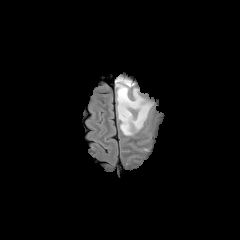
FLAIR MR image.
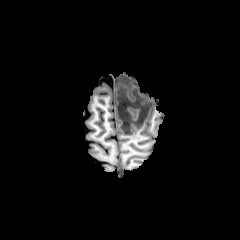
Same slice, T1-weighted MR image.
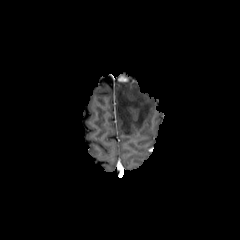
Same slice, post-contrast T1-weighted MRI.
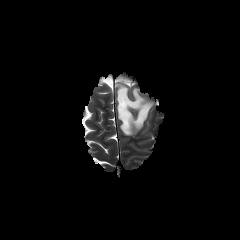
T2-weighted MR of the same slice.
Head
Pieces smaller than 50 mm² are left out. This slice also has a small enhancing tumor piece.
The peritumoral edema appears at (x1=115, y1=78, x2=152, y2=135).